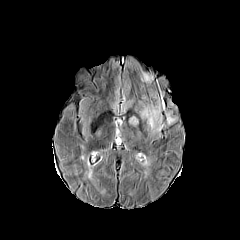
FLAIR MRI.
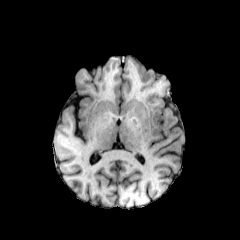
T1-weighted magnetic resonance.
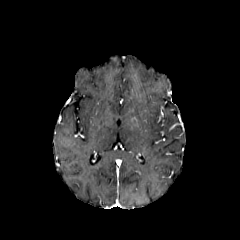
Post-contrast T1-weighted magnetic resonance.
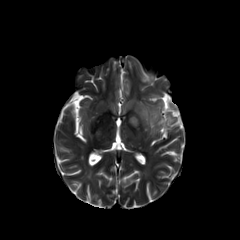
T2-weighted MRI.
Image size 240x240, Axial view
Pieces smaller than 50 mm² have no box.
{
  "peritumoral_edema": [
    "box=[141, 108, 158, 131]",
    "box=[167, 114, 174, 124]"
  ]
}